FLAIR MR image.
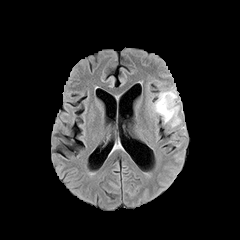
T1-weighted MR image.
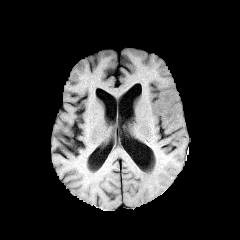
Post-contrast T1-weighted MR.
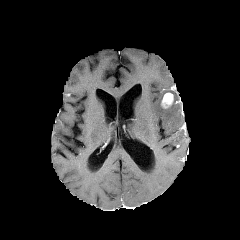
T2-weighted MR image.
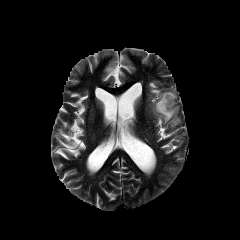
Brain
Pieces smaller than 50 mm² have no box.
enhancing tumor — bbox=[161, 92, 173, 108]
peritumoral edema — bbox=[151, 89, 180, 127]